Slice index 54.
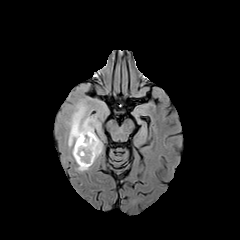
FLAIR MR.
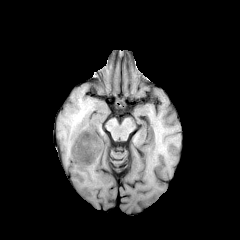
T1-weighted MR image.
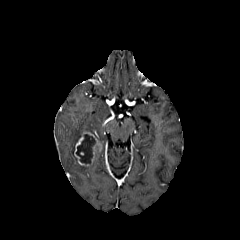
Post-contrast T1-weighted magnetic resonance.
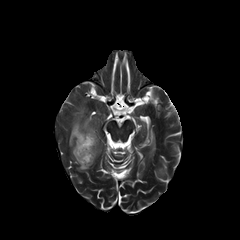
T2-weighted MR image of the same slice.
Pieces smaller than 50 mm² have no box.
enhancing tumor: bounding box (74,131,101,165)
necrotic tumor core: bounding box (76,134,95,164)
peritumoral edema: bounding box (55,82,110,159), (74,156,91,173)